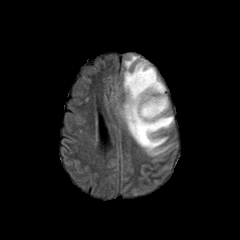
FLAIR magnetic resonance.
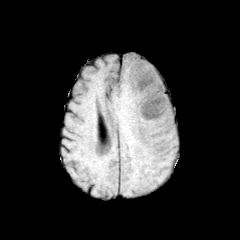
T1-weighted MR.
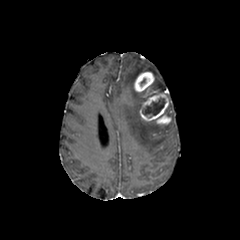
Post-contrast T1-weighted MR.
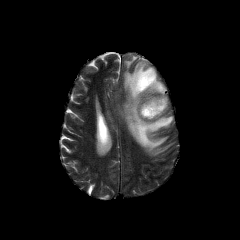
T2-weighted MR image.
Axial view. 240x240. Head.
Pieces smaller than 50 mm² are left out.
Findings:
• necrotic tumor core: <bbox>142, 98, 165, 115</bbox>
• peritumoral edema: <bbox>120, 55, 173, 155</bbox>
• enhancing tumor: <bbox>134, 72, 154, 92</bbox>, <bbox>139, 91, 171, 125</bbox>